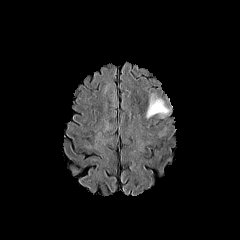
FLAIR MR image.
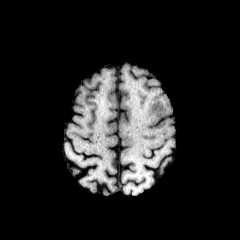
T1-weighted magnetic resonance of the same slice.
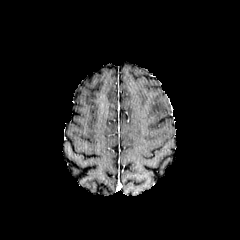
Post-contrast T1-weighted MR image of the same slice.
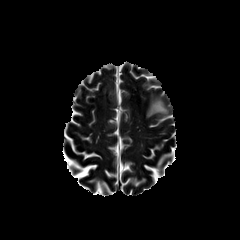
T2-weighted MR image.
Axial slice | Brain
<segmentation>
  <peritumoral_edema>box=[146, 94, 169, 118]</peritumoral_edema>
</segmentation>